FLAIR MR.
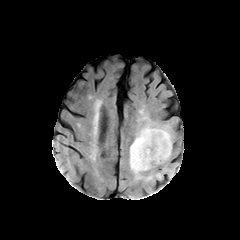
T1-weighted MR.
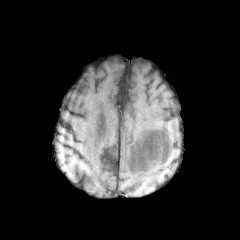
Post-contrast T1-weighted MR.
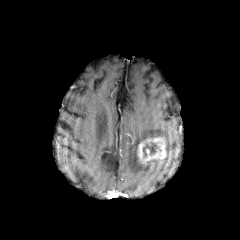
T2-weighted MRI.
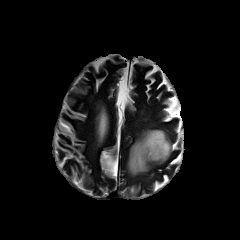
240x240
enhancing tumor: bbox=[137, 135, 167, 164] | peritumoral edema: bbox=[128, 124, 172, 178] | necrotic tumor core: bbox=[143, 143, 158, 156]